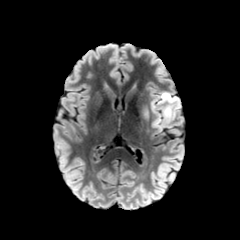
FLAIR MRI.
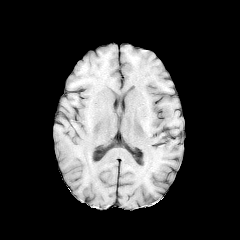
T1-weighted MR image.
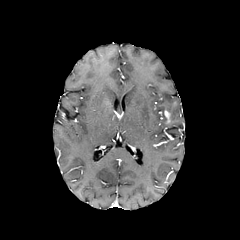
Post-contrast T1-weighted MR of the same slice.
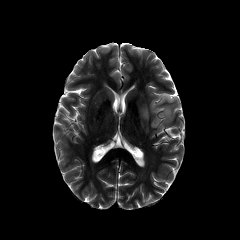
T2-weighted MR.
Axial view.
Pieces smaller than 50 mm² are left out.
{"enhancing_tumor": ["164,110,170,122"], "peritumoral_edema": ["151,92,179,130"]}